FLAIR MR image.
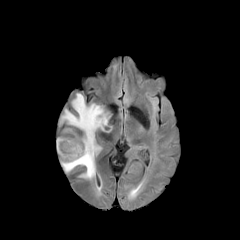
T1-weighted MR image.
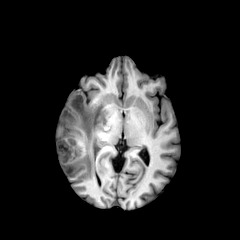
Post-contrast T1-weighted magnetic resonance.
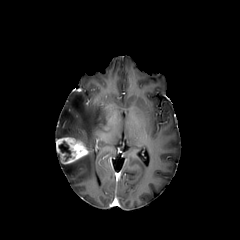
T2-weighted MRI.
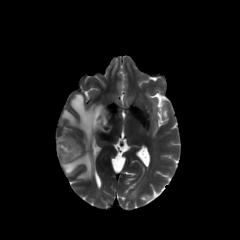
240x240 px.
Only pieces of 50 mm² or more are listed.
enhancing tumor at x1=56 y1=137 x2=88 y2=164
peritumoral edema at x1=60 y1=94 x2=110 y2=179
necrotic tumor core at x1=58 y1=141 x2=71 y2=160